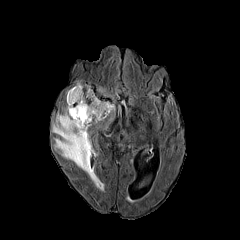
FLAIR MR.
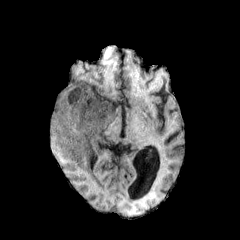
T1-weighted MRI.
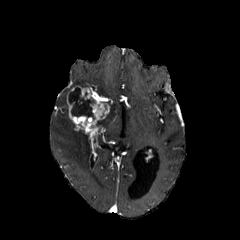
Post-contrast T1-weighted MRI.
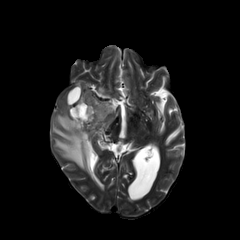
Same slice, T2-weighted MR.
Head; Axial slice; Image size 240x240
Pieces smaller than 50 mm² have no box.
<segmentation>
  <necrotic_tumor_core>box=[68, 87, 94, 119]</necrotic_tumor_core>
  <enhancing_tumor>box=[67, 85, 110, 139]</enhancing_tumor>
  <peritumoral_edema>box=[98, 87, 108, 96]; box=[52, 105, 99, 184]; box=[107, 102, 115, 116]</peritumoral_edema>
</segmentation>